Head; Image width 240 mm; Axial slice
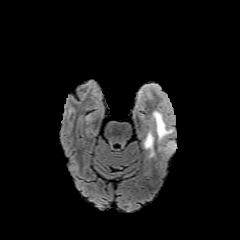
FLAIR MR.
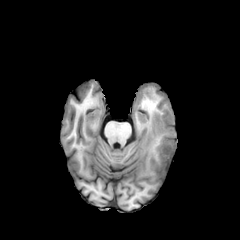
T1-weighted MR image of the same slice.
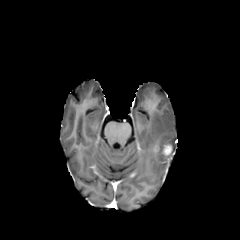
Post-contrast T1-weighted MR of the same slice.
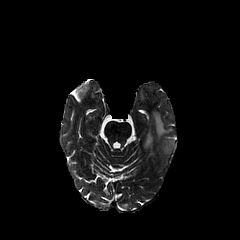
Same slice, T2-weighted MR.
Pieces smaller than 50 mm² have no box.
<segmentation>
  <enhancing_tumor>[163,144,172,155]</enhancing_tumor>
  <peritumoral_edema>[144,131,153,149], [153,111,172,139]</peritumoral_edema>
</segmentation>